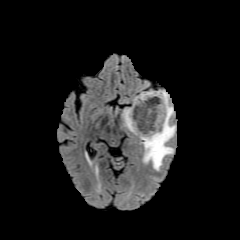
FLAIR MR.
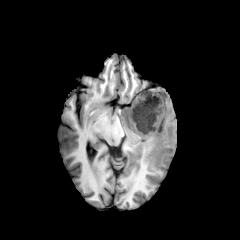
T1-weighted magnetic resonance.
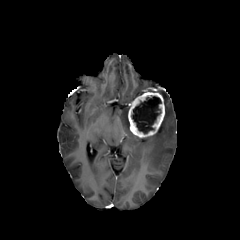
Same slice, post-contrast T1-weighted MR image.
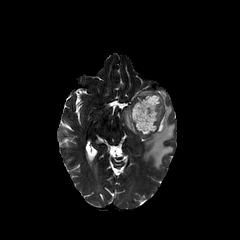
T2-weighted MRI.
Axial plane. Head.
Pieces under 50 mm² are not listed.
Segmented structures:
• peritumoral edema: (122,107,129,130), (140,90,175,170)
• enhancing tumor: (128,91,164,137)
• necrotic tumor core: (132,96,161,133)